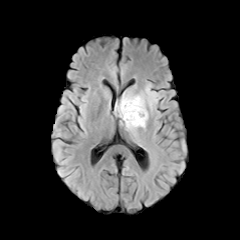
FLAIR MRI.
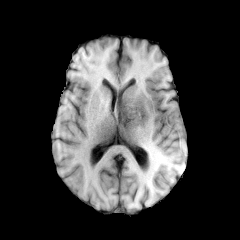
T1-weighted magnetic resonance of the same slice.
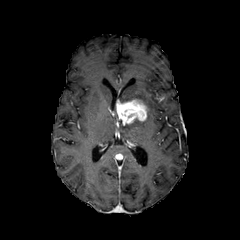
Post-contrast T1-weighted MRI.
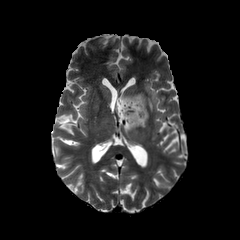
T2-weighted MR.
Brain | Image size 240x240
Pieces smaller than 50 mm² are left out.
{"peritumoral_edema": ["[x1=119, y1=84, x2=157, y2=111]", "[x1=125, y1=112, x2=148, y2=133]"], "enhancing_tumor": ["[x1=116, y1=99, x2=147, y2=125]"]}